FLAIR MR image.
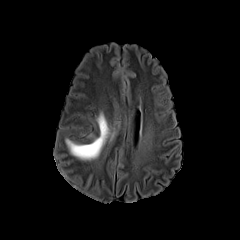
T1-weighted MRI.
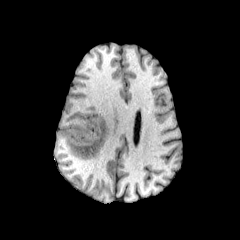
Post-contrast T1-weighted MRI.
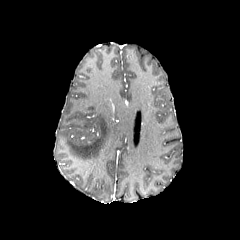
T2-weighted MR image.
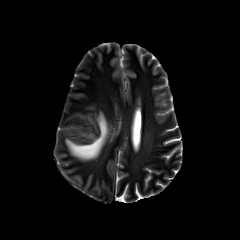
240x240 px, Brain
Findings:
- peritumoral edema: box=[66, 113, 109, 159]